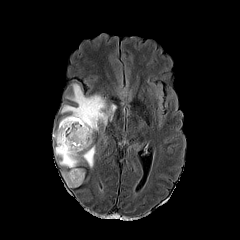
FLAIR MR.
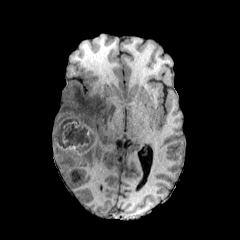
T1-weighted MR image of the same slice.
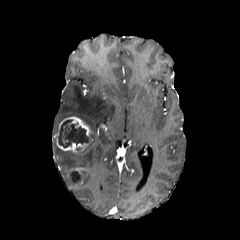
Same slice, post-contrast T1-weighted MR.
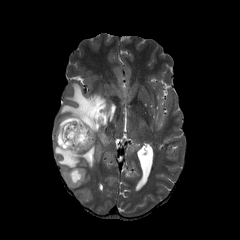
T2-weighted MRI.
Image size 240x240. Axial view. Brain.
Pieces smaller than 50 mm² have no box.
The 2 largest necrotic tumor core regions are located at (left=58, top=119, right=91, bottom=149), (left=72, top=171, right=82, bottom=180). The largest enhancing tumor region appears at (left=53, top=116, right=91, bottom=152). The 2 largest peritumoral edema regions are located at (left=54, top=145, right=95, bottom=187), (left=61, top=83, right=116, bottom=135).